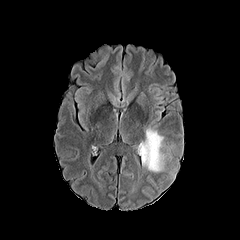
FLAIR magnetic resonance.
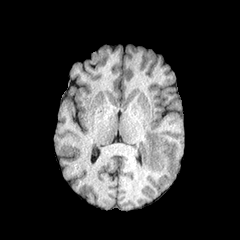
T1-weighted magnetic resonance.
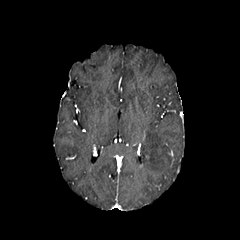
Post-contrast T1-weighted MR of the same slice.
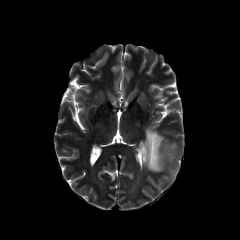
T2-weighted MR image.
240x240; Axial view
The peritumoral edema appears at (140, 128, 165, 172).